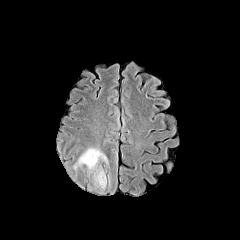
FLAIR MR image.
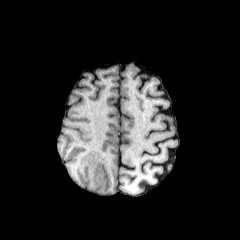
T1-weighted magnetic resonance.
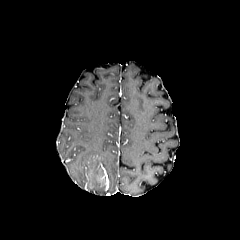
Post-contrast T1-weighted MRI.
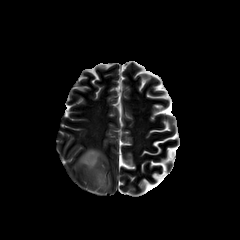
T2-weighted magnetic resonance.
240x240
Annotated regions:
• peritumoral edema: [72, 148, 108, 188]